Brain | Slice 76/155 | Axial plane
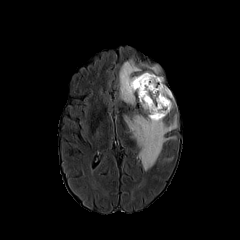
FLAIR magnetic resonance.
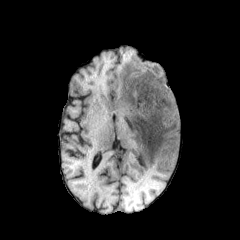
T1-weighted magnetic resonance.
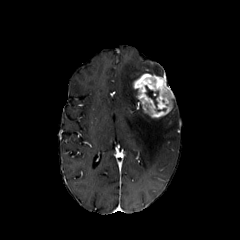
Post-contrast T1-weighted MRI.
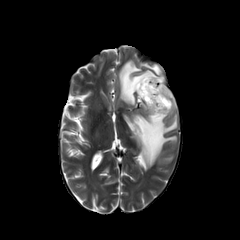
T2-weighted MR of the same slice.
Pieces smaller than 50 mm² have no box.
{"necrotic_tumor_core": ["(left=145, top=86, right=158, bottom=106)"], "peritumoral_edema": ["(left=119, top=59, right=161, bottom=105)", "(left=124, top=114, right=177, bottom=170)"], "enhancing_tumor": ["(left=133, top=73, right=174, bottom=118)"]}